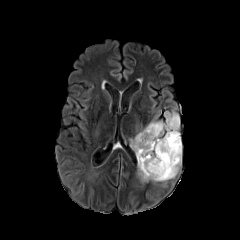
FLAIR MR image.
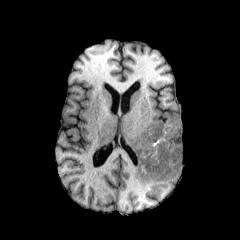
T1-weighted MR image.
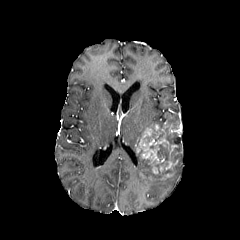
Post-contrast T1-weighted MRI of the same slice.
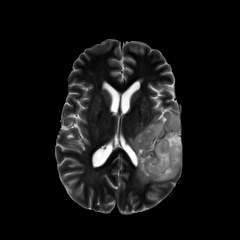
T2-weighted MRI.
240x240 | Axial plane
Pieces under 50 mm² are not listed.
enhancing tumor at left=168, top=124, right=179, bottom=136; left=160, top=172, right=174, bottom=179; left=135, top=123, right=178, bottom=173
necrotic tumor core at left=137, top=144, right=176, bottom=179; left=165, top=123, right=180, bottom=162
peritumoral edema at left=130, top=128, right=145, bottom=152; left=146, top=120, right=163, bottom=127; left=165, top=112, right=179, bottom=124; left=137, top=155, right=180, bottom=183